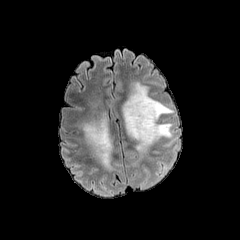
FLAIR magnetic resonance.
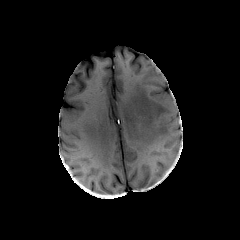
T1-weighted magnetic resonance.
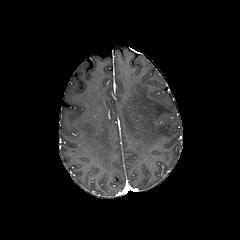
Same slice, post-contrast T1-weighted magnetic resonance.
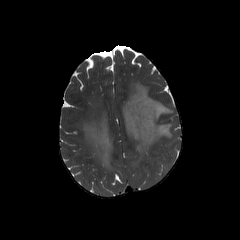
Same slice, T2-weighted MR image.
Head
Annotated regions:
* peritumoral edema: <bbox>122, 82, 173, 154</bbox>, <bbox>81, 113, 113, 169</bbox>